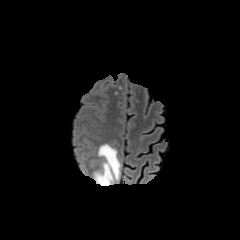
FLAIR MR image.
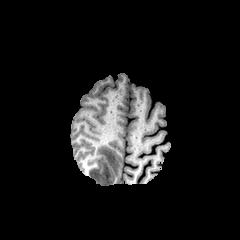
T1-weighted MRI.
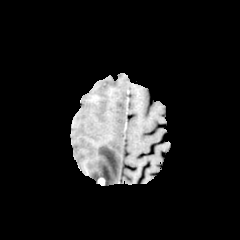
Post-contrast T1-weighted MRI.
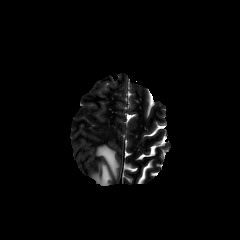
Same slice, T2-weighted MR image.
Image size 240x240.
peritumoral edema at bbox=[92, 144, 121, 185]
enhancing tumor at bbox=[97, 178, 105, 185]